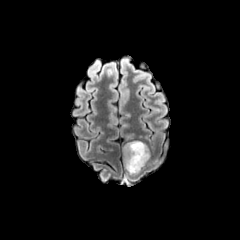
FLAIR MR image.
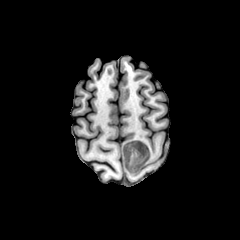
T1-weighted MR image.
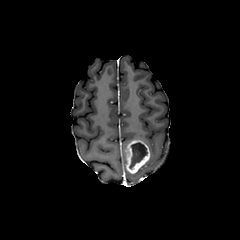
Same slice, post-contrast T1-weighted MRI.
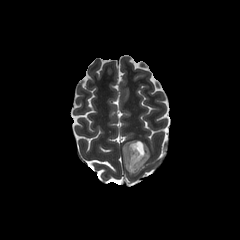
T2-weighted MR.
Axial view.
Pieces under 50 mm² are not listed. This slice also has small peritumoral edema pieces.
necrotic_tumor_core:
  - 129:142:147:168
enhancing_tumor:
  - 124:140:149:173